FLAIR MR.
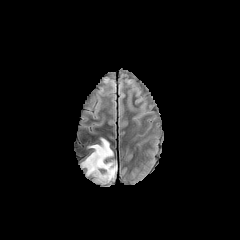
T1-weighted magnetic resonance.
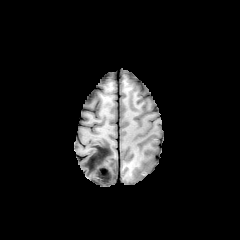
Post-contrast T1-weighted MRI.
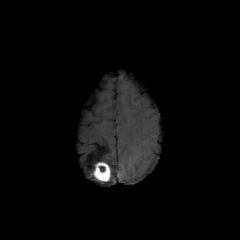
T2-weighted MR image.
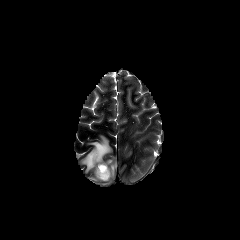
Axial view, Image size 240x240
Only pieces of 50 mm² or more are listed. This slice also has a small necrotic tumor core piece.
Segmented structures:
- enhancing tumor: <bbox>92, 162, 110, 181</bbox>
- peritumoral edema: <bbox>82, 138, 113, 174</bbox>, <bbox>105, 160, 116, 180</bbox>